Axial slice, 240x240
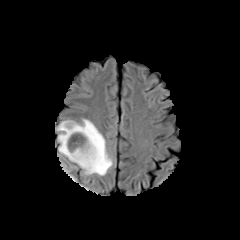
FLAIR MR image.
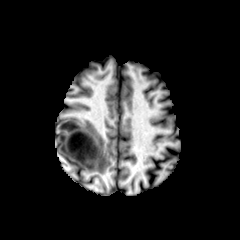
Same slice, T1-weighted MRI.
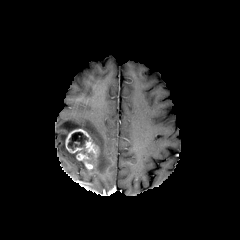
Same slice, post-contrast T1-weighted MRI.
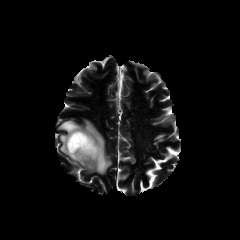
T2-weighted magnetic resonance.
enhancing tumor: bounding box [x1=65, y1=129, x2=98, y2=169]
peritumoral edema: bounding box [x1=57, y1=119, x2=112, y2=175]
necrotic tumor core: bounding box [x1=68, y1=132, x2=88, y2=150]